Image width 240 mm, 1.00 mm slice spacing; Axial slice; 240x240 px
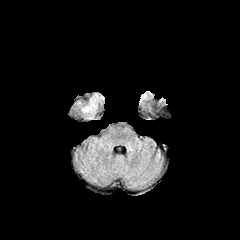
FLAIR MR image.
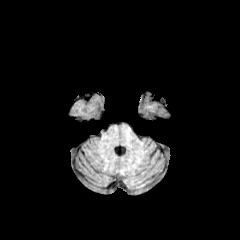
T1-weighted MR of the same slice.
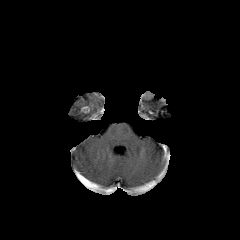
Post-contrast T1-weighted MR of the same slice.
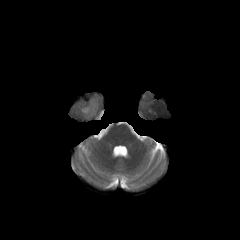
T2-weighted MR image.
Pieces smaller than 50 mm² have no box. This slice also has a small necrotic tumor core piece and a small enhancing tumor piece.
Annotated regions:
* peritumoral edema: (x1=84, y1=96, x2=98, y2=118)